FLAIR magnetic resonance.
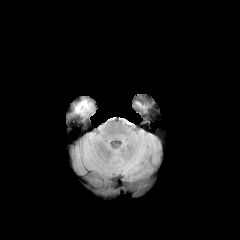
T1-weighted MR.
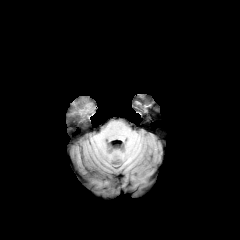
Post-contrast T1-weighted MR image.
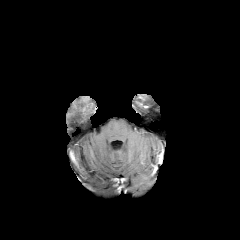
T2-weighted MR.
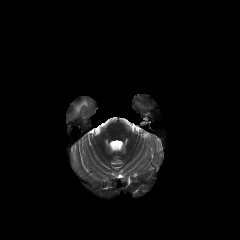
Axial slice.
peritumoral edema: 75:99:91:114